FLAIR MR.
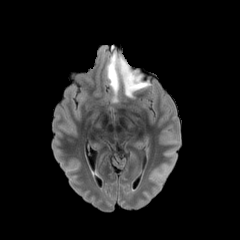
T1-weighted MRI.
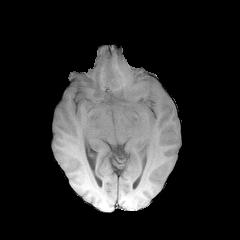
Post-contrast T1-weighted MR image.
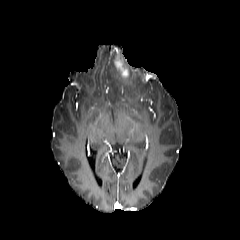
T2-weighted MRI.
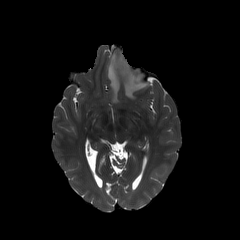
240x240. Brain.
enhancing_tumor:
  - left=114, top=56, right=129, bottom=78
peritumoral_edema:
  - left=107, top=53, right=149, bottom=102